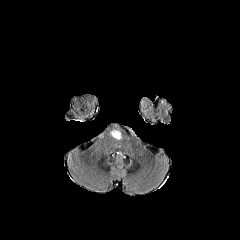
FLAIR MR.
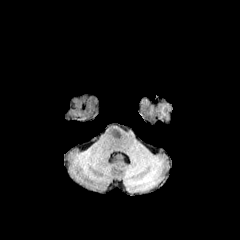
T1-weighted magnetic resonance of the same slice.
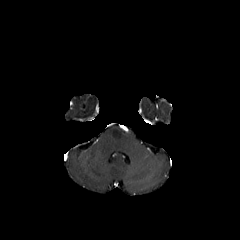
Same slice, post-contrast T1-weighted magnetic resonance.
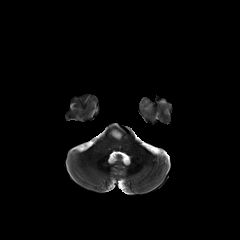
T2-weighted MR image of the same slice.
Brain.
<segmentation>
  <peritumoral_edema>{"x1": 110, "y1": 129, "x2": 121, "y2": 139}</peritumoral_edema>
</segmentation>